FLAIR magnetic resonance.
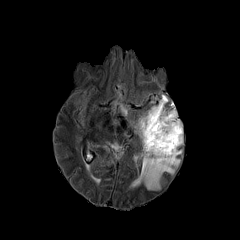
T1-weighted MRI.
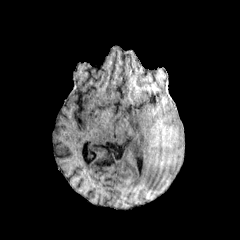
Post-contrast T1-weighted MR.
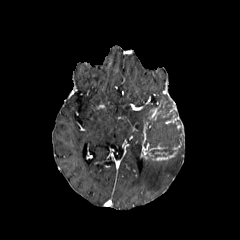
T2-weighted MRI.
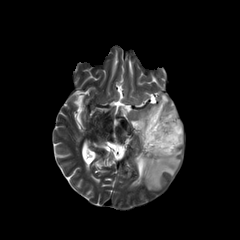
Axial view, Head
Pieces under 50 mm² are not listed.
<segmentation>
  <enhancing_tumor>bbox(165, 108, 179, 123); bbox(141, 122, 181, 160); bbox(148, 105, 161, 120)</enhancing_tumor>
  <peritumoral_edema>bbox(159, 95, 168, 106); bbox(136, 110, 150, 137); bbox(141, 150, 181, 190)</peritumoral_edema>
  <necrotic_tumor_core>bbox(144, 103, 182, 157)</necrotic_tumor_core>
</segmentation>